Slice index 117; Brain; 240x240 px; Axial slice
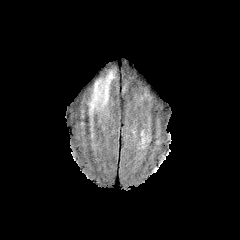
FLAIR MR image.
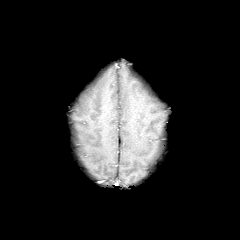
T1-weighted MRI.
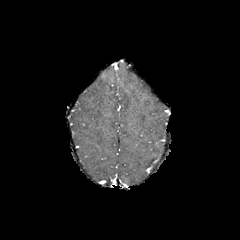
Same slice, post-contrast T1-weighted MR.
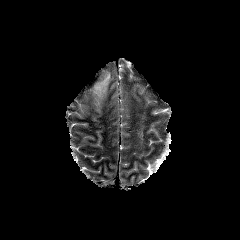
T2-weighted MR image.
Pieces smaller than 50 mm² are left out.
peritumoral edema — [95, 83, 100, 94], [101, 74, 112, 96]